FLAIR MR image.
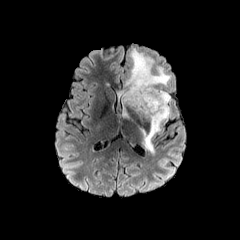
T1-weighted MRI.
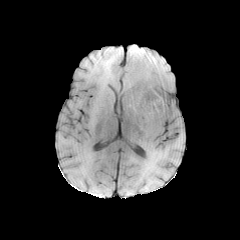
Post-contrast T1-weighted MRI.
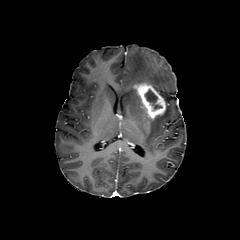
T2-weighted MRI.
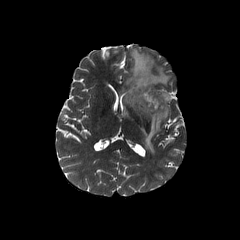
Axial view
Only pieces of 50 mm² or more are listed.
enhancing tumor — box(133, 82, 166, 120)
peritumoral edema — box(121, 49, 171, 118); box(140, 88, 170, 155)
necrotic tumor core — box(145, 89, 161, 109)